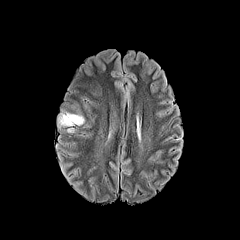
FLAIR MRI.
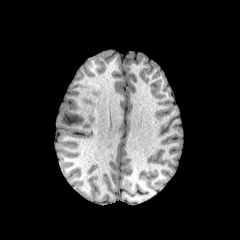
Same slice, T1-weighted MR.
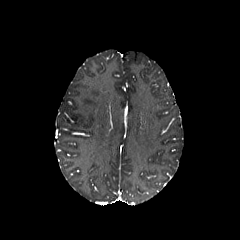
Post-contrast T1-weighted MR of the same slice.
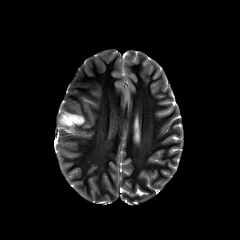
T2-weighted magnetic resonance.
Head.
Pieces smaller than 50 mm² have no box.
Findings:
• peritumoral edema: (x1=58, y1=113, x2=84, y2=125)